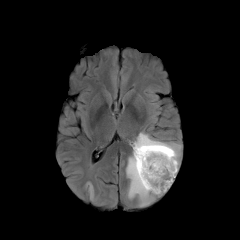
FLAIR MR image.
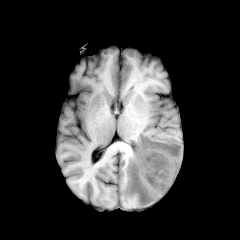
T1-weighted MR.
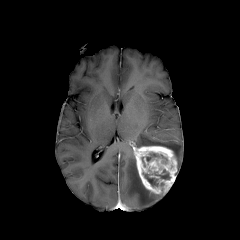
Post-contrast T1-weighted MR.
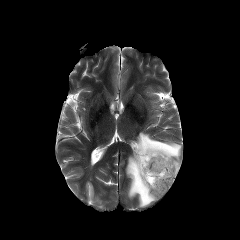
T2-weighted MR.
Brain
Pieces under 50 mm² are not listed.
Segmented structures:
- necrotic tumor core: (x1=145, y1=174, x2=157, y2=185)
- peritumoral edema: (x1=134, y1=132, x2=181, y2=169), (x1=126, y1=153, x2=166, y2=206)
- enhancing tumor: (x1=133, y1=146, x2=177, y2=194)